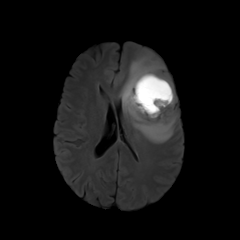
FLAIR MRI.
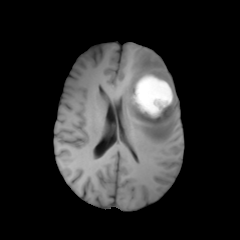
T1-weighted magnetic resonance.
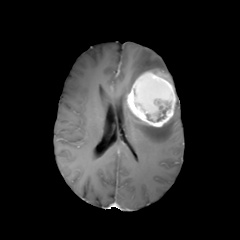
Post-contrast T1-weighted MR image.
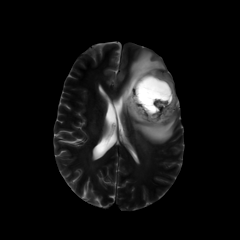
Same slice, T2-weighted MR.
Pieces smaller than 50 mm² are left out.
necrotic tumor core at [157, 106, 167, 121]
enhancing tumor at [126, 71, 176, 126]
peritumoral edema at [119, 49, 177, 143]